Head; Image width 240 mm, 1.00 mm slice spacing; 240x240 px
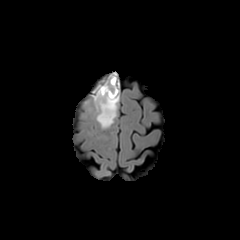
FLAIR MRI.
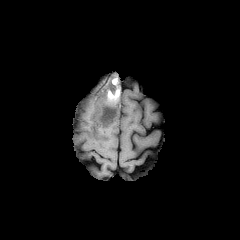
T1-weighted MR image.
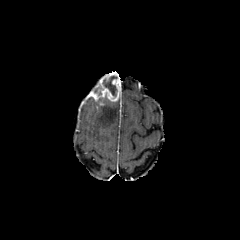
Post-contrast T1-weighted MRI.
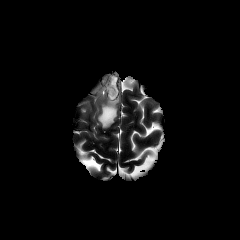
T2-weighted MRI.
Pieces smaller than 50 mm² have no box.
peritumoral edema: bounding box [94,100,118,128]
necrotic tumor core: bounding box [104,76,116,95]
enhancing tumor: bounding box [93,74,120,105]